FLAIR MRI.
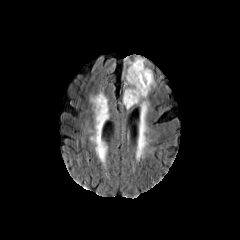
T1-weighted MR.
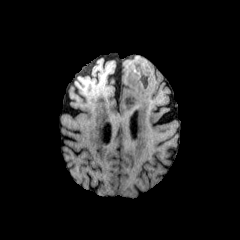
Post-contrast T1-weighted MR image.
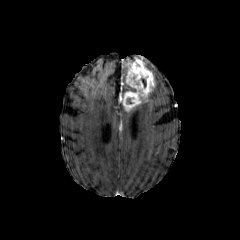
T2-weighted MR.
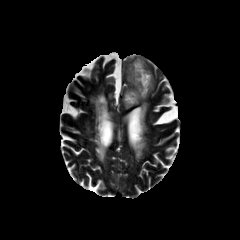
Axial plane
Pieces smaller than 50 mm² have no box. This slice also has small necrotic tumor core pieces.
{
  "peritumoral_edema": [
    "(123, 57, 146, 92)"
  ],
  "enhancing_tumor": [
    "(121, 58, 154, 111)"
  ]
}